FLAIR MR image.
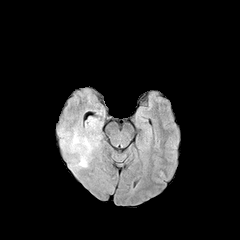
T1-weighted MRI.
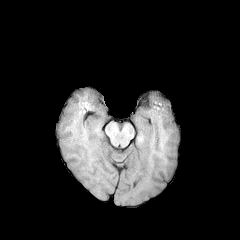
Post-contrast T1-weighted MR.
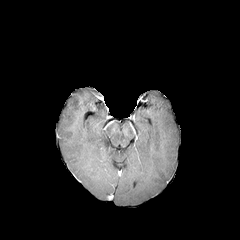
T2-weighted MR.
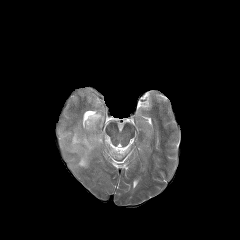
{
  "peritumoral_edema": [
    "(58, 117, 101, 167)"
  ]
}